FLAIR MR.
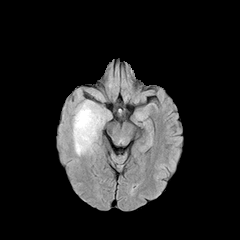
T1-weighted MR image.
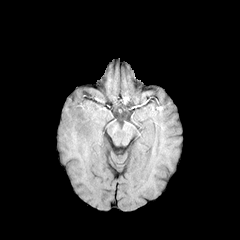
Post-contrast T1-weighted magnetic resonance.
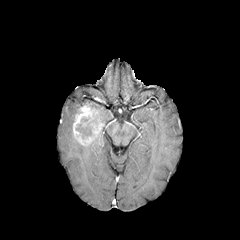
T2-weighted MR image.
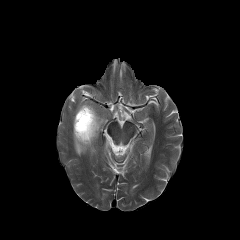
Axial plane. 240x240.
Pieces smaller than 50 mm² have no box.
peritumoral_edema:
  - (75,101,104,125)
  - (73,132,97,155)
enhancing_tumor:
  - (73,105,102,144)
necrotic_tumor_core:
  - (76,124,91,137)